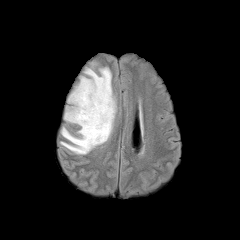
FLAIR magnetic resonance.
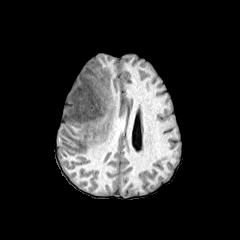
T1-weighted MRI of the same slice.
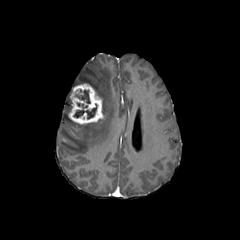
Same slice, post-contrast T1-weighted MR.
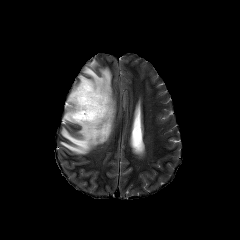
T2-weighted MR.
Brain; Image size 240x240
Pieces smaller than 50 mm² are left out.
2 peritumoral edema regions are located at x1=64, y1=95, x2=76, y2=123; x1=60, y1=61, x2=116, y2=154. The enhancing tumor is at x1=68, y1=83, x2=104, y2=124. The 2 largest necrotic tumor core regions are bounded by x1=76, y1=90, x2=90, y2=103; x1=73, y1=104, x2=96, y2=118.